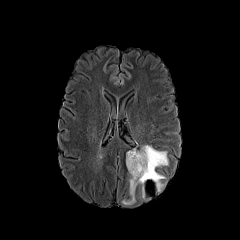
FLAIR MR image.
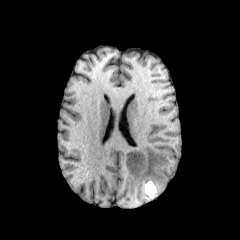
T1-weighted MR.
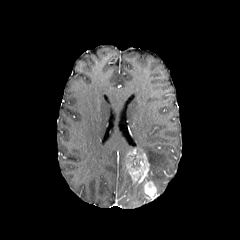
Post-contrast T1-weighted magnetic resonance.
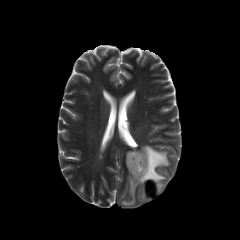
T2-weighted magnetic resonance.
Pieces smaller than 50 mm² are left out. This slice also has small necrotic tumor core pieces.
peritumoral edema: region(122, 176, 145, 205); region(137, 145, 168, 192) | enhancing tumor: region(126, 150, 152, 183)